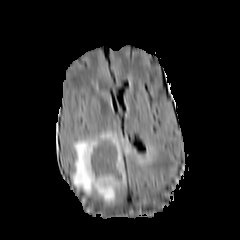
FLAIR MR image.
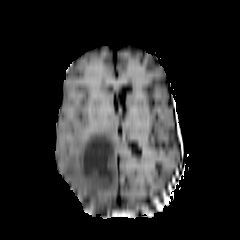
T1-weighted MR image.
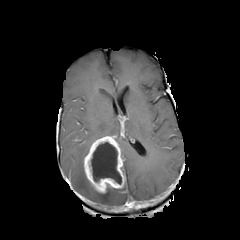
Post-contrast T1-weighted MR of the same slice.
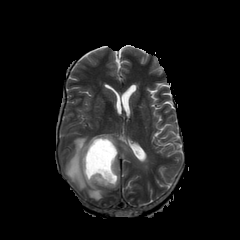
T2-weighted magnetic resonance.
Brain
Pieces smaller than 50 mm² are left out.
<segmentation>
  <necrotic_tumor_core>(x1=91, y1=142, x2=121, y2=184)</necrotic_tumor_core>
  <enhancing_tumor>(x1=83, y1=136, x2=125, y2=193)</enhancing_tumor>
  <peritumoral_edema>(x1=71, y1=132, x2=137, y2=201)</peritumoral_edema>
</segmentation>